FLAIR MR.
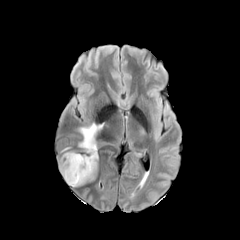
T1-weighted MRI.
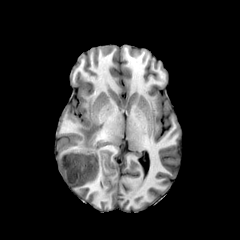
Post-contrast T1-weighted MRI.
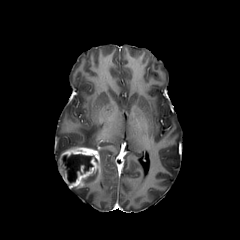
T2-weighted MR image.
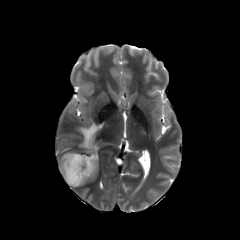
Brain. 240x240. Axial view.
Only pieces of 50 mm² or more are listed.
The largest peritumoral edema region lies within rect(78, 123, 103, 150). The necrotic tumor core is bounded by rect(61, 154, 97, 183). The enhancing tumor lies within rect(58, 147, 99, 188).